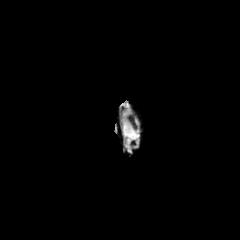
FLAIR MR image.
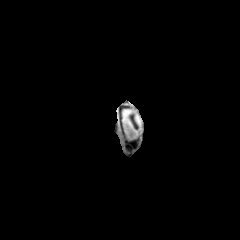
Same slice, T1-weighted MR.
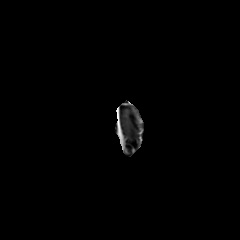
Post-contrast T1-weighted MR image.
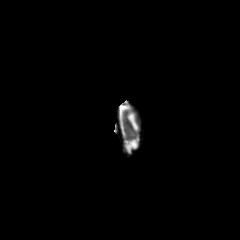
Same slice, T2-weighted MR.
Axial plane, Brain, 240x240
The peritumoral edema is at [x1=124, y1=125, x2=138, y2=139].